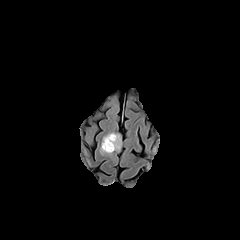
FLAIR MR image.
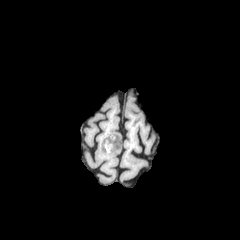
T1-weighted MR of the same slice.
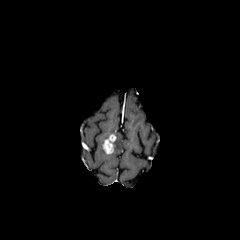
Post-contrast T1-weighted MRI of the same slice.
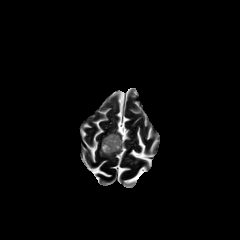
T2-weighted MRI.
Head, Axial view
{"peritumoral_edema": [{"x1": 99, "y1": 132, "x2": 122, "y2": 156}], "enhancing_tumor": [{"x1": 102, "y1": 134, "x2": 116, "y2": 153}]}